Slice 76/155. Image covers 240 mm x 240 mm.
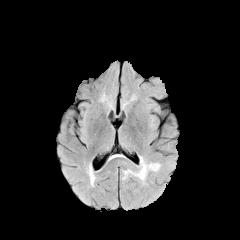
FLAIR magnetic resonance.
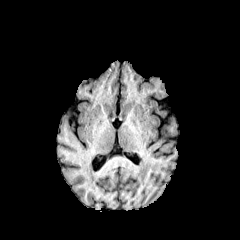
T1-weighted MR of the same slice.
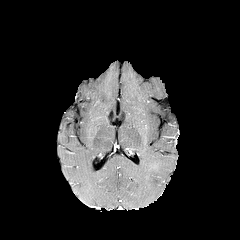
Same slice, post-contrast T1-weighted MR image.
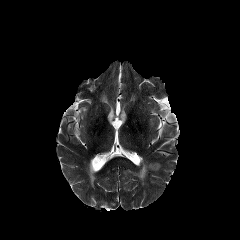
T2-weighted MRI.
peritumoral_edema:
  - x1=123, y1=156, x2=160, y2=184